Brain; Image width 240 mm; Slice 113 of 155
FLAIR magnetic resonance.
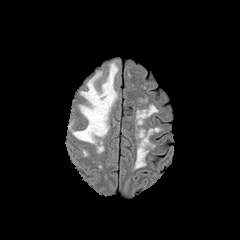
T1-weighted MR image.
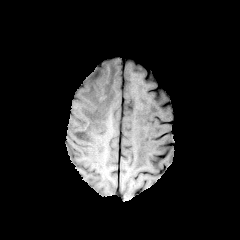
Post-contrast T1-weighted MR.
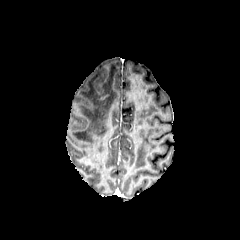
T2-weighted MRI.
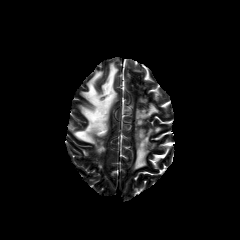
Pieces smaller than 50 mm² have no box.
peritumoral_edema:
  - left=72, top=62, right=118, bottom=152